FLAIR MRI.
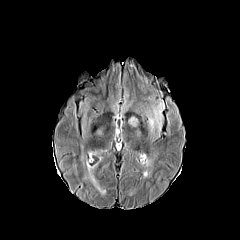
T1-weighted MR image.
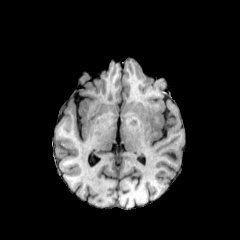
Post-contrast T1-weighted MRI.
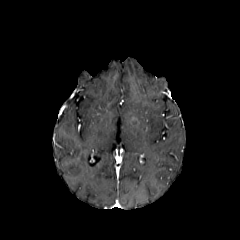
T2-weighted MR.
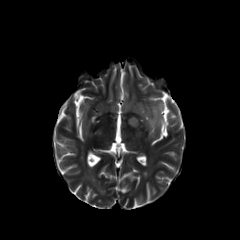
240x240 px; Axial plane; Head
2 peritumoral edema regions are bounded by <bbox>148, 104, 162, 131</bbox>, <bbox>128, 117, 138, 126</bbox>.